240x240, Brain, Axial view
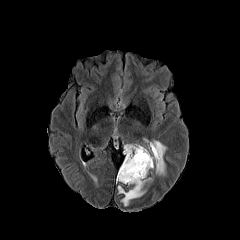
FLAIR MR.
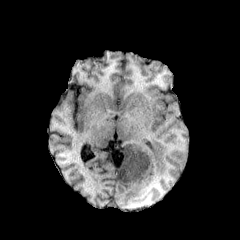
T1-weighted MR image.
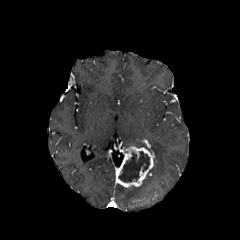
Post-contrast T1-weighted MRI.
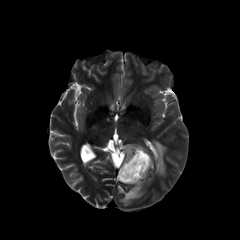
Same slice, T2-weighted magnetic resonance.
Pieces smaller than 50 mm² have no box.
The necrotic tumor core is located at rect(118, 151, 149, 182). The enhancing tumor appears at rect(116, 145, 154, 187). The 2 largest peritumoral edema regions are bounded by rect(151, 140, 166, 175); rect(118, 178, 151, 205).